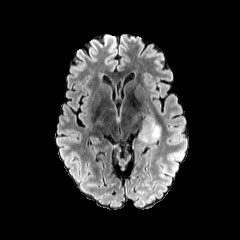
FLAIR MR image.
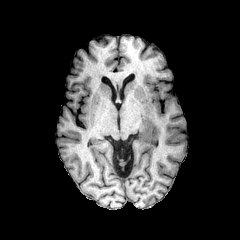
T1-weighted magnetic resonance.
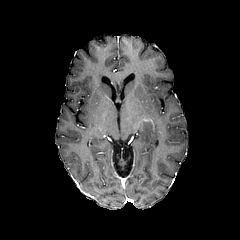
Post-contrast T1-weighted MR image.
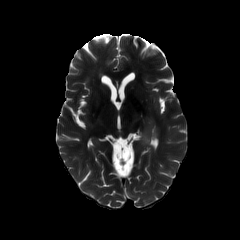
T2-weighted MR of the same slice.
240x240, Brain
The peritumoral edema lies within x1=137, y1=114, x2=161, y2=144.